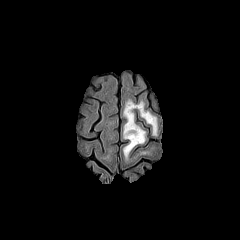
FLAIR MR image.
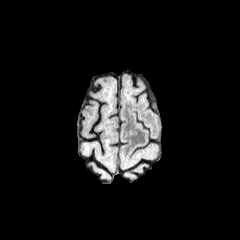
T1-weighted magnetic resonance.
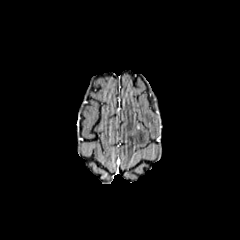
Post-contrast T1-weighted magnetic resonance.
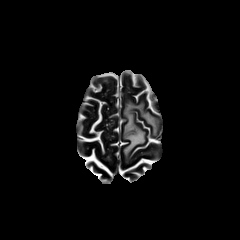
T2-weighted MR of the same slice.
Axial plane; Head
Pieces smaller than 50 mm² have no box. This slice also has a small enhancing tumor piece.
peritumoral edema: bbox(123, 100, 157, 159)